FLAIR MRI.
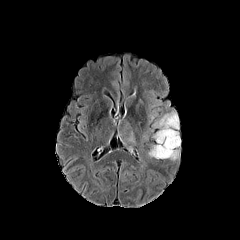
T1-weighted MR.
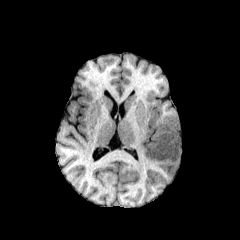
Post-contrast T1-weighted MR image.
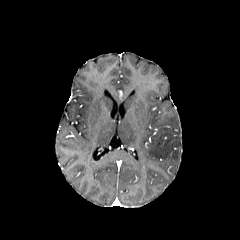
T2-weighted MR image.
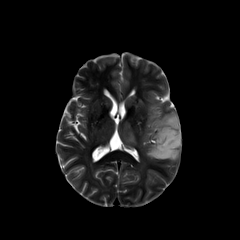
240x240
Annotated regions:
• peritumoral edema: x1=125 y1=131 x2=136 y2=145, x1=148 y1=111 x2=180 y2=160